Axial slice | Head | Image covers 240 mm x 240 mm
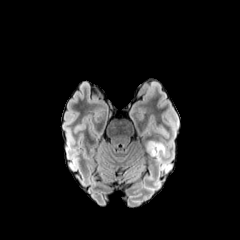
FLAIR MR image.
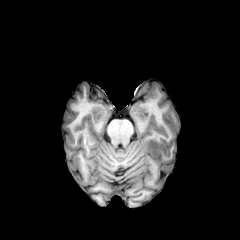
Same slice, T1-weighted MRI.
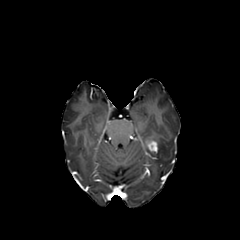
Post-contrast T1-weighted MR.
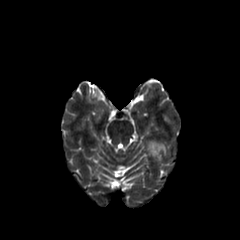
T2-weighted MR image.
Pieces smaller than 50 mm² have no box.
{
  "peritumoral_edema": [
    "(left=146, top=140, right=168, bottom=164)"
  ],
  "enhancing_tumor": [
    "(left=146, top=140, right=157, bottom=153)"
  ]
}